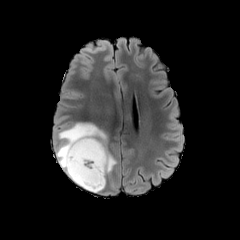
FLAIR MR.
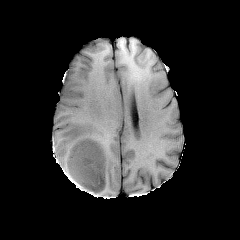
T1-weighted MRI.
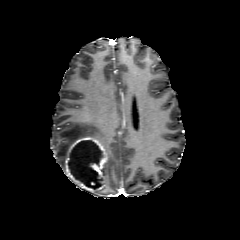
Post-contrast T1-weighted magnetic resonance.
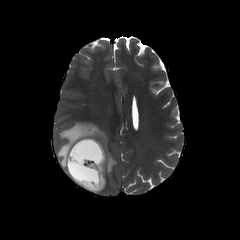
T2-weighted magnetic resonance.
Axial view. Brain.
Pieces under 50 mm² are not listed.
The necrotic tumor core appears at [68, 140, 103, 189]. The largest enhancing tumor region is located at [62, 136, 107, 192]. The largest peritumoral edema region lies within [55, 122, 116, 184].